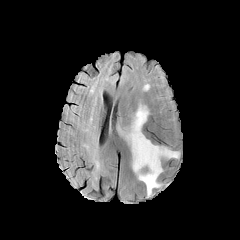
FLAIR MR image.
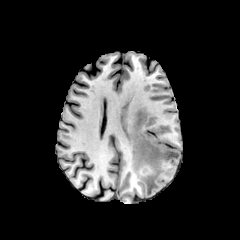
T1-weighted MR image.
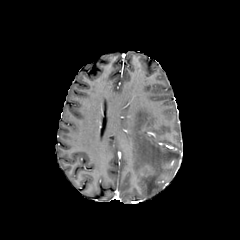
Post-contrast T1-weighted MR of the same slice.
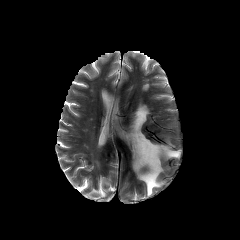
Same slice, T2-weighted magnetic resonance.
240x240 px; Axial plane
<segmentation>
  <peritumoral_edema>118:103:179:196</peritumoral_edema>
</segmentation>